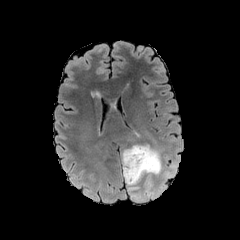
FLAIR MR image.
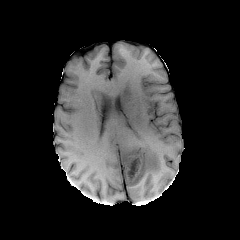
T1-weighted MR image.
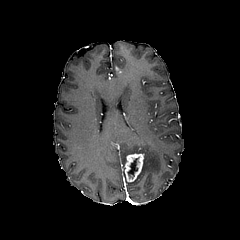
Same slice, post-contrast T1-weighted MR.
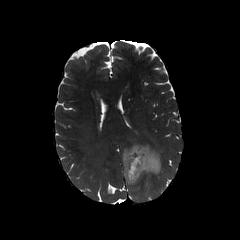
Same slice, T2-weighted MRI.
240x240 px, Axial plane
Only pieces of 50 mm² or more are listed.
<segmentation>
  <peritumoral_edema>121,144,169,196</peritumoral_edema>
  <enhancing_tumor>124,153,144,182</enhancing_tumor>
  <necrotic_tumor_core>128,158,138,176</necrotic_tumor_core>
</segmentation>